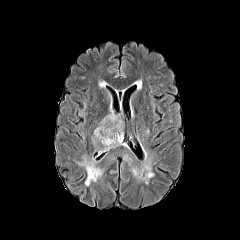
FLAIR MR image.
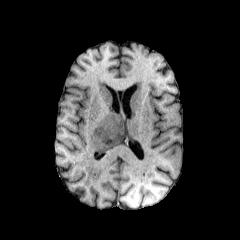
Same slice, T1-weighted magnetic resonance.
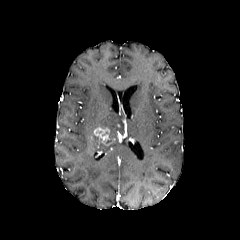
Post-contrast T1-weighted magnetic resonance.
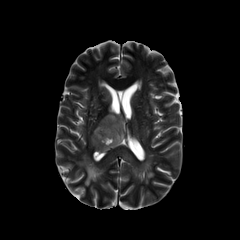
T2-weighted MR image.
Head; Axial plane; 240x240
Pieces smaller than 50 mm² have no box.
{
  "enhancing_tumor": [
    "x1=94 y1=126 x2=115 y2=146"
  ],
  "necrotic_tumor_core": [
    "x1=106 y1=129 x2=116 y2=143"
  ],
  "peritumoral_edema": [
    "x1=78 y1=156 x2=103 y2=186",
    "x1=92 y1=110 x2=124 y2=152"
  ]
}